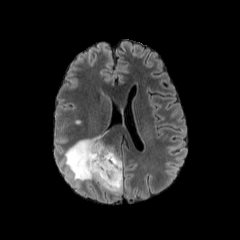
FLAIR MR image.
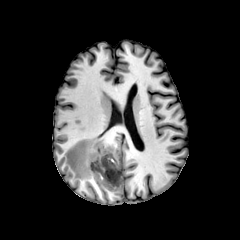
T1-weighted MR image of the same slice.
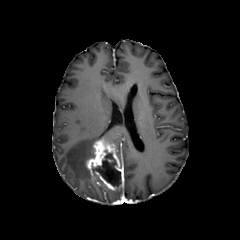
Same slice, post-contrast T1-weighted MRI.
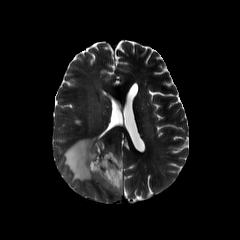
Same slice, T2-weighted MR.
Head
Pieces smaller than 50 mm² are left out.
<segmentation>
  <enhancing_tumor>left=86, top=138, right=123, bottom=190</enhancing_tumor>
  <peritumoral_edema>left=100, top=186, right=122, bottom=195; left=64, top=136, right=100, bottom=181</peritumoral_edema>
  <necrotic_tumor_core>left=92, top=150, right=121, bottom=186</necrotic_tumor_core>
</segmentation>